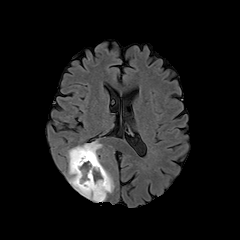
FLAIR MRI.
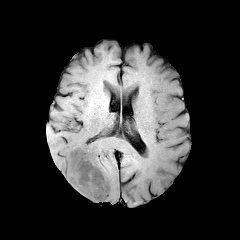
T1-weighted magnetic resonance.
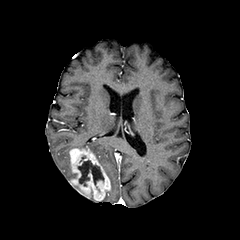
Same slice, post-contrast T1-weighted magnetic resonance.
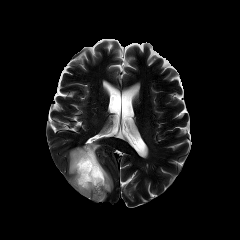
T2-weighted MR of the same slice.
Axial slice; Head; 240x240 px
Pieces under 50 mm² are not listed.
enhancing tumor at 69:148:110:201
peritumoral edema at 101:167:114:201, 67:150:76:181, 75:141:101:165
necrotic tumor core at 77:160:104:186